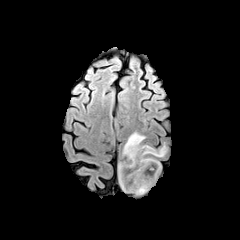
FLAIR MR image.
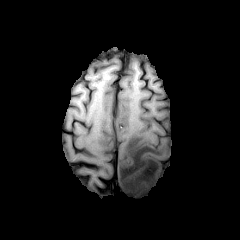
T1-weighted MR.
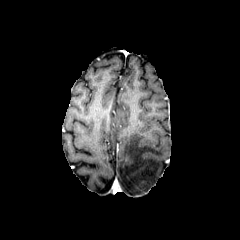
Same slice, post-contrast T1-weighted MRI.
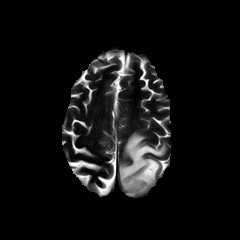
T2-weighted MR.
Axial view, Head
peritumoral edema: x1=118 y1=132 x2=166 y2=194